Axial slice
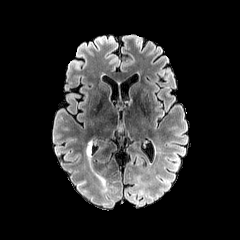
FLAIR MR.
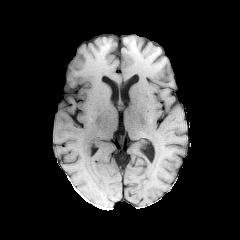
Same slice, T1-weighted MRI.
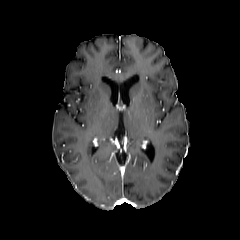
Post-contrast T1-weighted magnetic resonance of the same slice.
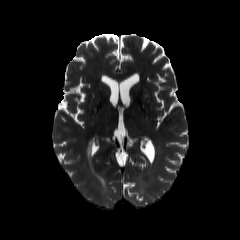
T2-weighted MR image.
<segmentation>
  <peritumoral_edema><box>87,141,91,159</box></peritumoral_edema>
</segmentation>